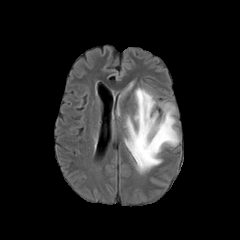
FLAIR magnetic resonance.
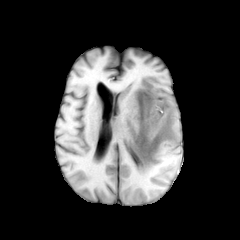
T1-weighted MR image of the same slice.
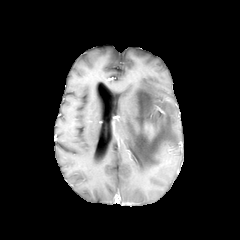
Same slice, post-contrast T1-weighted MR.
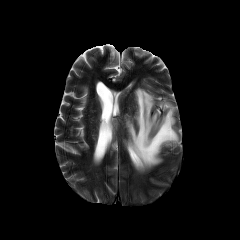
T2-weighted magnetic resonance.
Brain, Axial slice, 240x240
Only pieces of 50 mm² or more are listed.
enhancing_tumor:
  - 144, 123, 153, 134
peritumoral_edema:
  - 124, 87, 179, 173